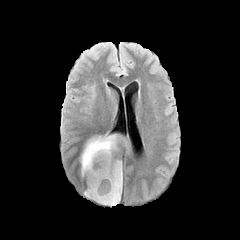
FLAIR MRI.
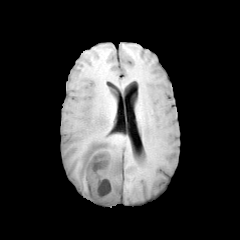
T1-weighted MR of the same slice.
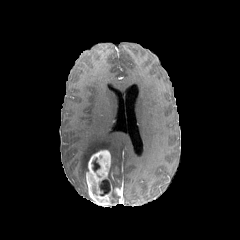
Post-contrast T1-weighted MR of the same slice.
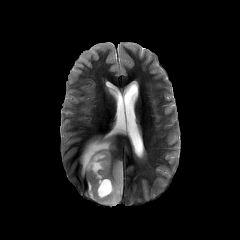
T2-weighted magnetic resonance of the same slice.
Brain
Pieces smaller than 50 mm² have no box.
peritumoral edema: [81, 134, 132, 175], [108, 158, 122, 188]
necrotic tumor core: [92, 158, 100, 171], [99, 179, 110, 195]
enhancing tumor: [86, 150, 122, 206]